FLAIR MR.
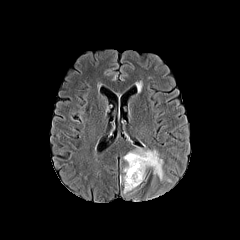
T1-weighted magnetic resonance.
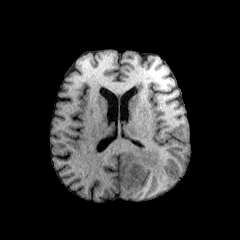
Post-contrast T1-weighted MRI.
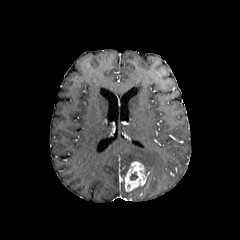
T2-weighted magnetic resonance.
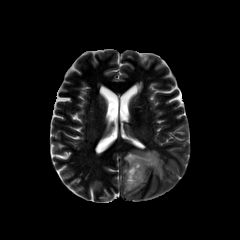
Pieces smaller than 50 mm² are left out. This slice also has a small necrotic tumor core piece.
The enhancing tumor is at x1=124, y1=161, x2=147, y2=191. The largest peritumoral edema region is located at x1=123, y1=149, x2=163, y2=180.